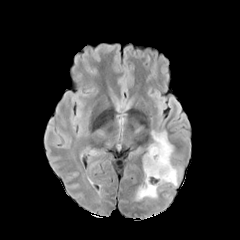
FLAIR MRI.
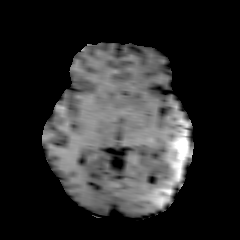
T1-weighted magnetic resonance.
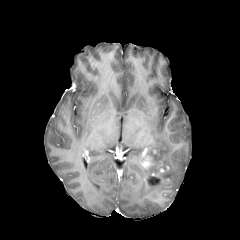
Post-contrast T1-weighted magnetic resonance of the same slice.
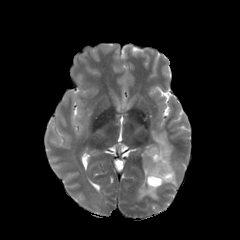
T2-weighted MR of the same slice.
240x240.
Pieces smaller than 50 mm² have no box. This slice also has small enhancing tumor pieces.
peritumoral edema: bbox(135, 130, 181, 201)